Slice 84 of 155, Brain, Image size 240x240
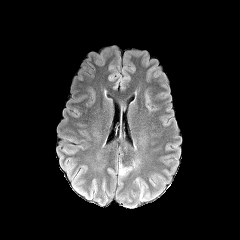
FLAIR MR.
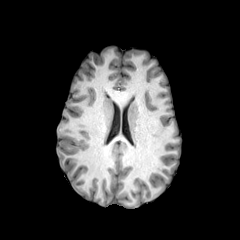
Same slice, T1-weighted MRI.
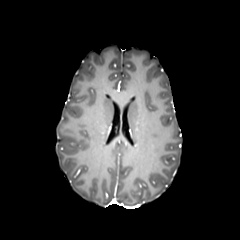
Same slice, post-contrast T1-weighted MR.
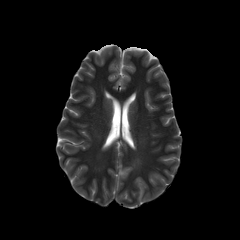
T2-weighted MR.
Annotated regions:
- peritumoral edema: box=[119, 163, 133, 175]